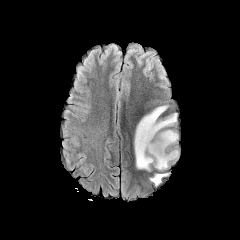
FLAIR magnetic resonance.
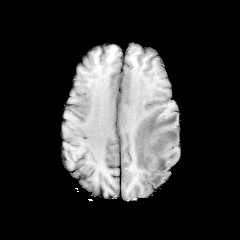
T1-weighted MR image.
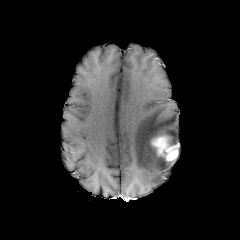
Post-contrast T1-weighted MR image of the same slice.
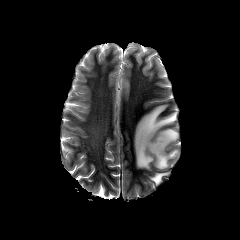
T2-weighted magnetic resonance of the same slice.
240x240
The enhancing tumor is bounded by [151, 134, 178, 162]. 2 peritumoral edema regions appear at [134, 105, 178, 171], [149, 173, 169, 185].